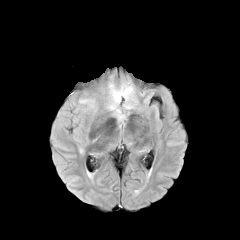
FLAIR MR.
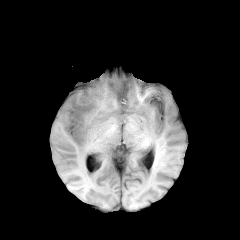
T1-weighted MR of the same slice.
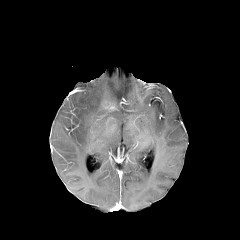
Post-contrast T1-weighted MR image.
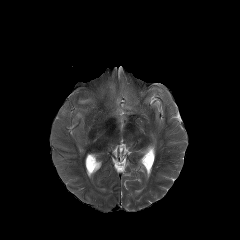
T2-weighted magnetic resonance.
Brain.
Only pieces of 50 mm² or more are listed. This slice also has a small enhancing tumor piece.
Annotated regions:
• peritumoral edema: rect(107, 84, 131, 117); rect(79, 99, 94, 107)